Axial plane, Brain, Slice 93 of 155
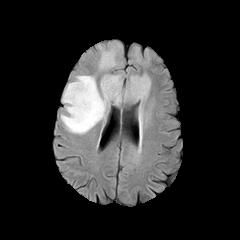
FLAIR MR image.
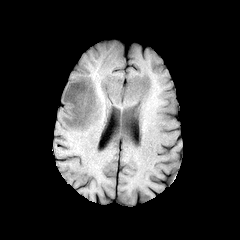
T1-weighted magnetic resonance.
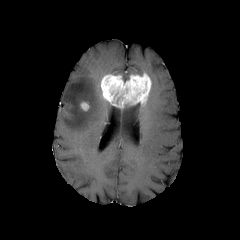
Same slice, post-contrast T1-weighted MR.
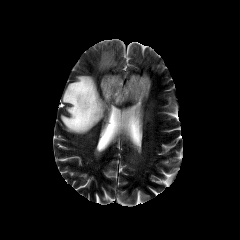
T2-weighted MR.
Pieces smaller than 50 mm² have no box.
peritumoral_edema:
  - x1=98, y1=44, x2=120, y2=70
  - x1=138, y1=103, x2=144, y2=126
  - x1=60, y1=75, x2=111, y2=134
enhancing_tumor:
  - x1=80, y1=101, x2=89, y2=111
  - x1=100, y1=73, x2=151, y2=107